FLAIR magnetic resonance.
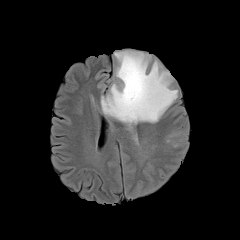
T1-weighted MRI.
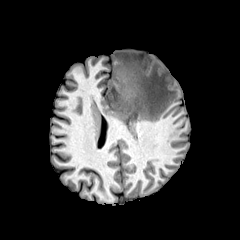
Post-contrast T1-weighted magnetic resonance.
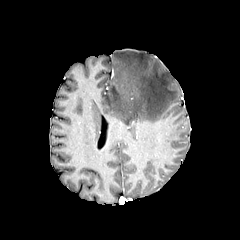
T2-weighted MR image.
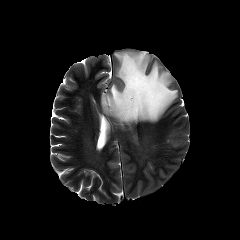
240x240 px.
peritumoral edema at {"x1": 167, "y1": 131, "x2": 187, "y2": 147}, {"x1": 101, "y1": 51, "x2": 177, "y2": 145}